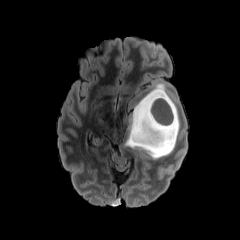
FLAIR MR.
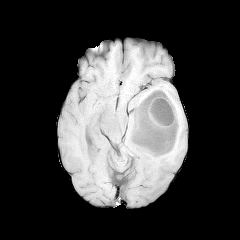
T1-weighted MR image.
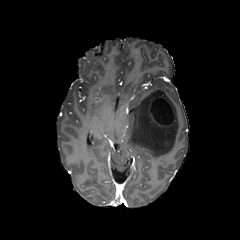
Post-contrast T1-weighted MR.
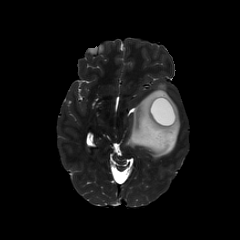
T2-weighted MRI of the same slice.
Image size 240x240 | Axial slice
<segmentation>
  <enhancing_tumor>(148, 97, 175, 127)</enhancing_tumor>
  <necrotic_tumor_core>(150, 99, 173, 123)</necrotic_tumor_core>
  <peritumoral_edema>(126, 84, 180, 158)</peritumoral_edema>
</segmentation>